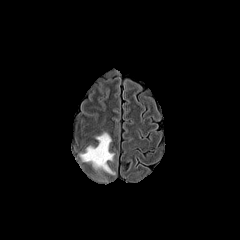
FLAIR MRI.
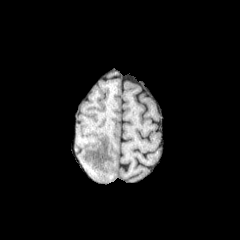
Same slice, T1-weighted magnetic resonance.
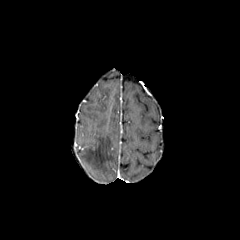
Post-contrast T1-weighted magnetic resonance.
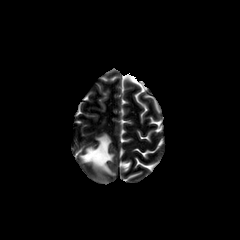
T2-weighted magnetic resonance.
Head; 240x240
The peritumoral edema lies within x1=80, y1=132, x2=114, y2=174.